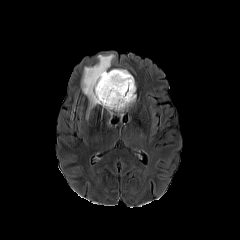
FLAIR magnetic resonance.
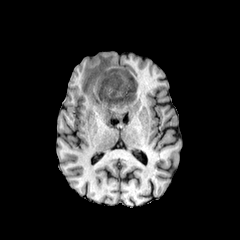
Same slice, T1-weighted magnetic resonance.
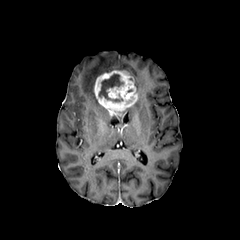
Post-contrast T1-weighted MR image of the same slice.
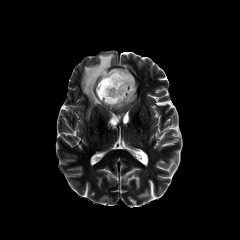
T2-weighted MR image of the same slice.
Axial view; 240x240 px; Head
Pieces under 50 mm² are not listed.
The largest peritumoral edema region appears at rect(81, 54, 127, 118). The largest necrotic tumor core region is located at rect(99, 74, 123, 99). The enhancing tumor lies within rect(94, 70, 137, 117).